Image width 240 mm, 1.00 mm slice spacing. Axial view.
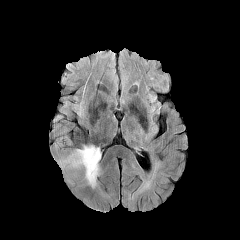
FLAIR MR.
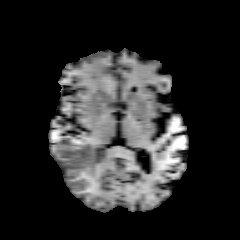
T1-weighted magnetic resonance.
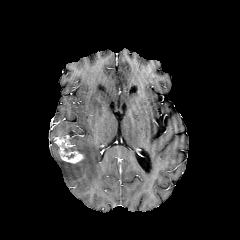
Post-contrast T1-weighted magnetic resonance.
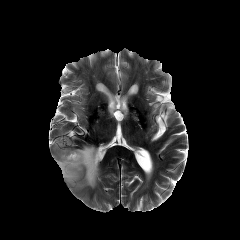
Same slice, T2-weighted MR image.
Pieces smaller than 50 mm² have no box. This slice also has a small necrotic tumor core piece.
peritumoral edema: bbox(56, 145, 100, 187)
enhancing tumor: bbox(54, 135, 84, 163)